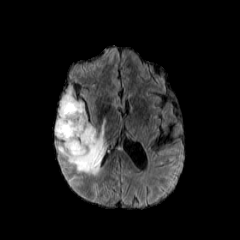
FLAIR magnetic resonance.
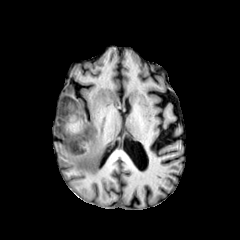
T1-weighted MR of the same slice.
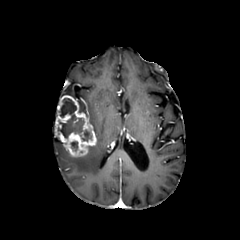
Post-contrast T1-weighted MR image.
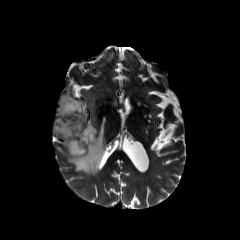
T2-weighted magnetic resonance.
Head
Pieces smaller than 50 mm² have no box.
The enhancing tumor lies within 54, 95, 96, 157. The 2 largest peritumoral edema regions are located at 57, 120, 105, 175; 78, 101, 85, 113. The 2 largest necrotic tumor core regions are located at 82, 130, 91, 141; 58, 98, 83, 137.